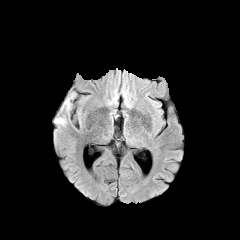
FLAIR magnetic resonance.
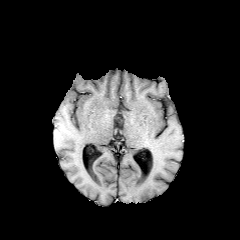
Same slice, T1-weighted MR.
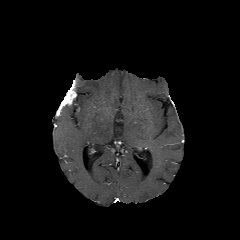
Post-contrast T1-weighted MR image of the same slice.
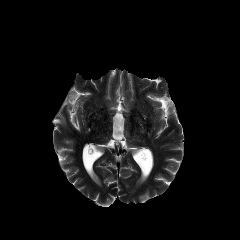
T2-weighted MRI.
Head
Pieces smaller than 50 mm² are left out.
enhancing tumor: 57:81:76:115 | peritumoral edema: 54:117:66:125